FLAIR MRI.
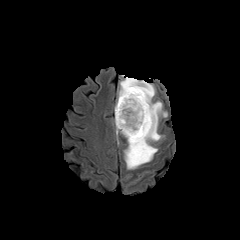
T1-weighted MR image.
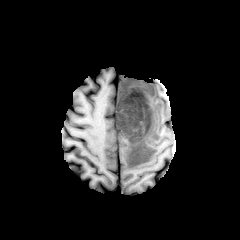
Post-contrast T1-weighted MR.
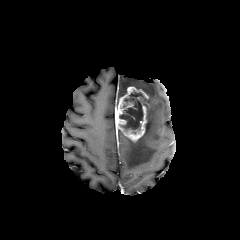
T2-weighted magnetic resonance.
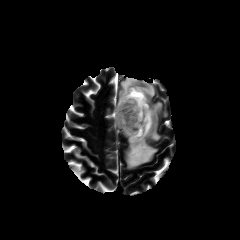
Axial slice
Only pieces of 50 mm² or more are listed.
{
  "enhancing_tumor": [
    "117, 87, 148, 141"
  ],
  "peritumoral_edema": [
    "120, 77, 167, 169",
    "114, 105, 117, 129"
  ],
  "necrotic_tumor_core": [
    "119, 91, 142, 133"
  ]
}